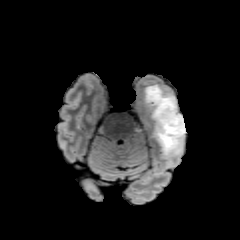
FLAIR magnetic resonance.
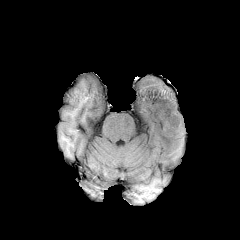
T1-weighted MRI.
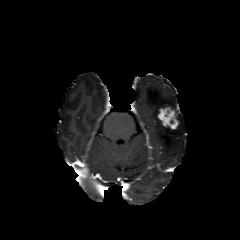
Post-contrast T1-weighted MR image.
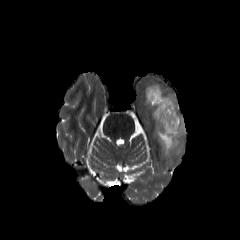
T2-weighted magnetic resonance.
Axial plane. Head.
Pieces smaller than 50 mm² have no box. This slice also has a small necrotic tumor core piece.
The enhancing tumor is at region(157, 106, 179, 129). The peritumoral edema is located at region(144, 85, 185, 160).